FLAIR MR.
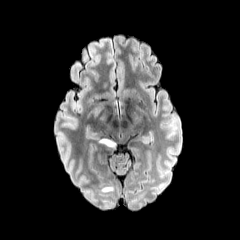
T1-weighted MR.
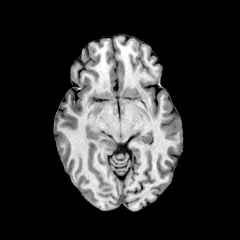
Post-contrast T1-weighted MR image.
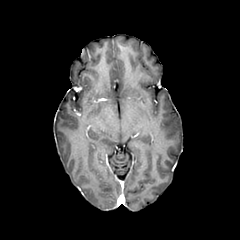
T2-weighted magnetic resonance.
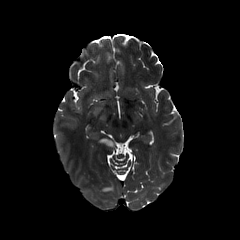
Head; Axial slice; Image size 240x240
2 peritumoral edema regions are bounded by 100 139 115 147, 101 185 112 191.